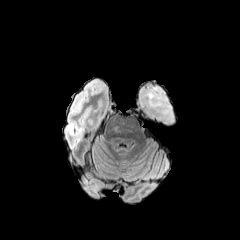
FLAIR magnetic resonance.
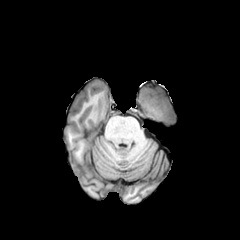
T1-weighted MR image.
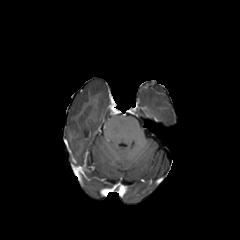
Post-contrast T1-weighted MR image.
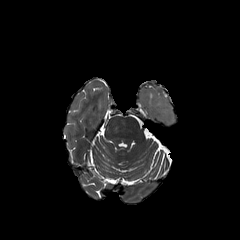
T2-weighted MRI of the same slice.
Axial slice
peritumoral edema at [139, 84, 174, 125]